FLAIR magnetic resonance.
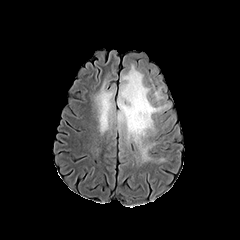
T1-weighted MR image.
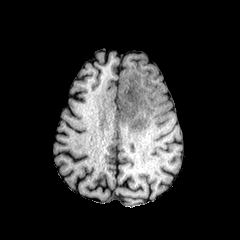
Post-contrast T1-weighted MRI.
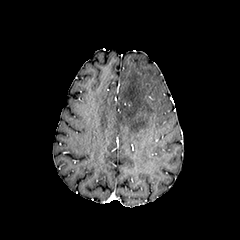
T2-weighted magnetic resonance.
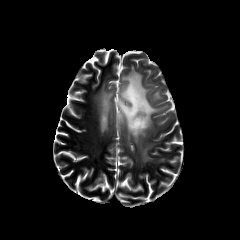
Axial plane; Brain; 240x240
peritumoral edema: bbox=[153, 89, 162, 100]; bbox=[95, 65, 168, 153]
necrotic tumor core: bbox=[124, 97, 132, 106]